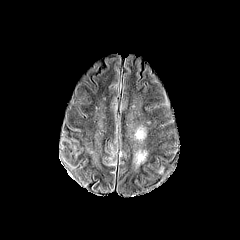
FLAIR MRI.
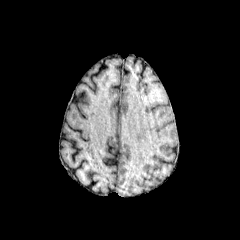
T1-weighted MRI of the same slice.
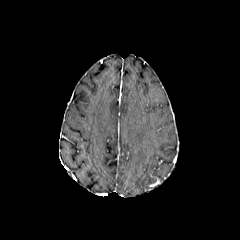
Post-contrast T1-weighted MR image of the same slice.
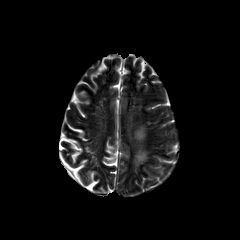
Same slice, T2-weighted MRI.
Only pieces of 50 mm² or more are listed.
<segmentation>
  <peritumoral_edema>l=136, t=131, r=143, b=138</peritumoral_edema>
</segmentation>